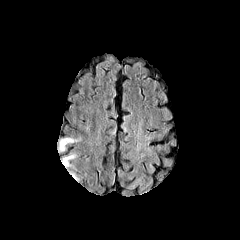
FLAIR magnetic resonance.
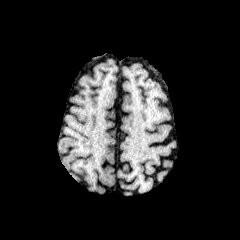
T1-weighted magnetic resonance of the same slice.
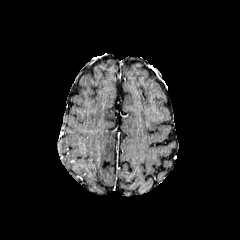
Post-contrast T1-weighted MR image.
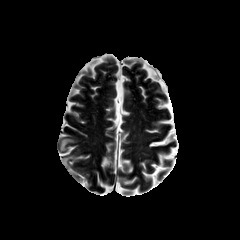
T2-weighted MR image.
Axial view. Head.
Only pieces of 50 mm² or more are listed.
The 2 largest peritumoral edema regions are located at 60:138:74:150, 62:155:74:166.